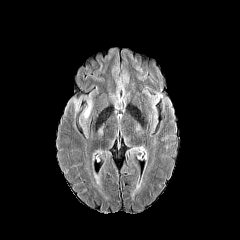
FLAIR MR.
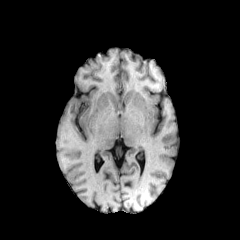
T1-weighted magnetic resonance of the same slice.
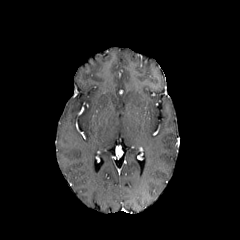
Post-contrast T1-weighted MR.
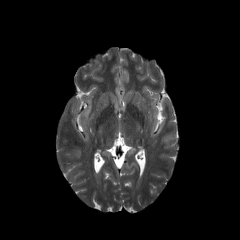
T2-weighted magnetic resonance of the same slice.
• peritumoral edema: <box>70,95,92,119</box>